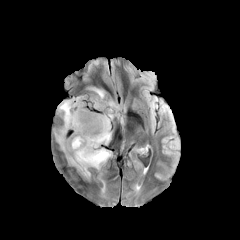
FLAIR MR.
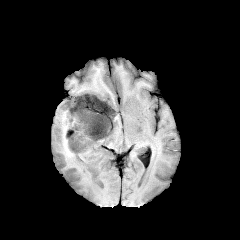
T1-weighted MRI of the same slice.
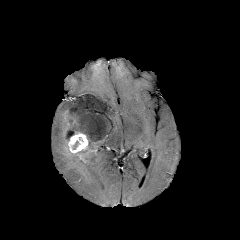
Post-contrast T1-weighted MR image.
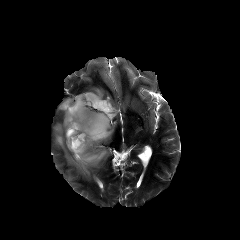
Same slice, T2-weighted MR.
Axial view, Head, Image size 240x240
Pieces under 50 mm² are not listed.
• peritumoral edema: 54 87 118 178
• necrotic tumor core: 66 131 74 141
• enhancing tumor: 65 130 88 154